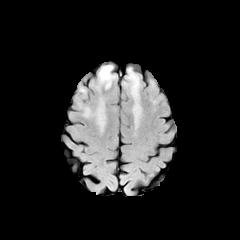
FLAIR magnetic resonance.
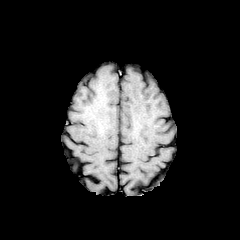
T1-weighted MRI.
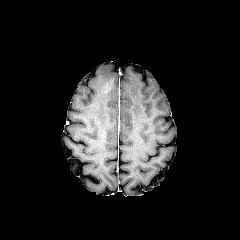
Post-contrast T1-weighted magnetic resonance of the same slice.
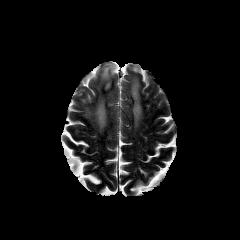
T2-weighted magnetic resonance.
Head; Axial slice
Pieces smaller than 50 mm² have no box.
peritumoral edema: region(94, 100, 105, 129); region(124, 68, 142, 126); region(97, 64, 116, 89)